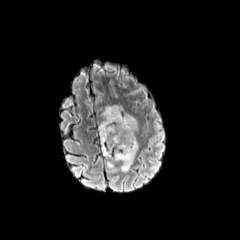
FLAIR MR.
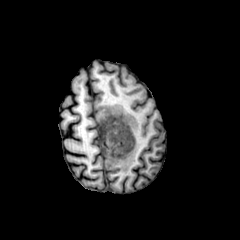
T1-weighted MR.
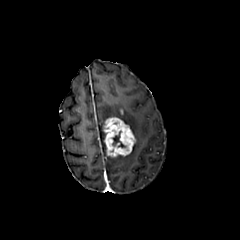
Post-contrast T1-weighted MRI.
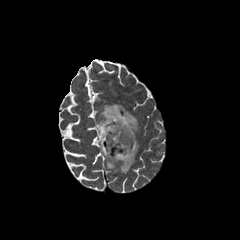
T2-weighted MRI.
Brain.
The enhancing tumor appears at 102,116,136,157. The necrotic tumor core appears at 112,131,125,147. The peritumoral edema is located at 99,104,138,171.